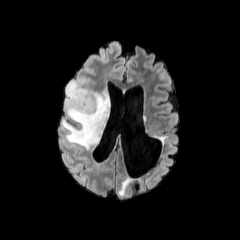
FLAIR MR.
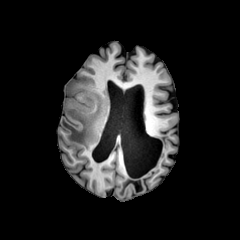
Same slice, T1-weighted magnetic resonance.
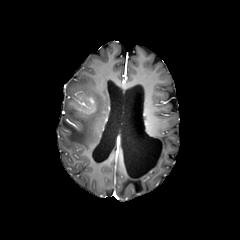
Same slice, post-contrast T1-weighted MR.
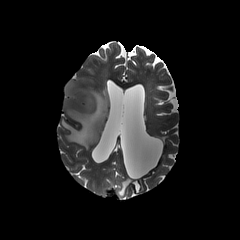
T2-weighted MR image.
Image size 240x240. Axial plane.
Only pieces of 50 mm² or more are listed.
peritumoral edema: [x1=61, y1=80, x2=109, y2=149] | enhancing tumor: [x1=73, y1=97, x2=93, y2=112]